FLAIR MR.
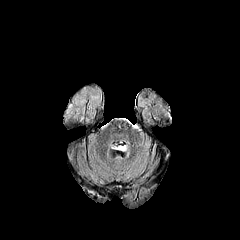
T1-weighted MR.
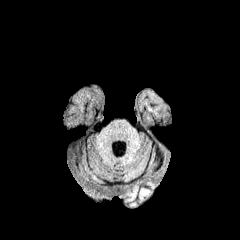
Post-contrast T1-weighted MR image.
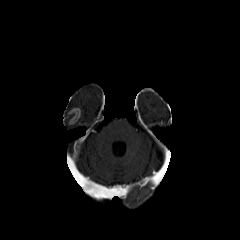
T2-weighted MRI.
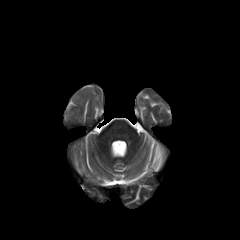
Image size 240x240
enhancing tumor — {"x1": 68, "y1": 108, "x2": 80, "y2": 124}